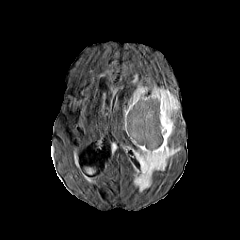
FLAIR MR.
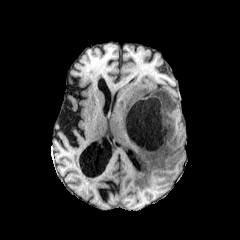
T1-weighted MR.
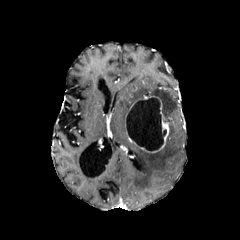
Post-contrast T1-weighted magnetic resonance.
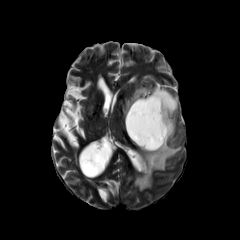
Same slice, T2-weighted MR image.
Axial view
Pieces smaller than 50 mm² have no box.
Findings:
* enhancing tumor: 129 96 169 153
* peritumoral edema: 123 85 147 118, 133 86 180 191
* necrotic tumor core: 126 97 166 151